240x240. Axial view. Slice index 130.
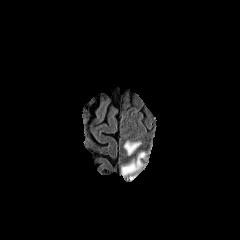
FLAIR MR image.
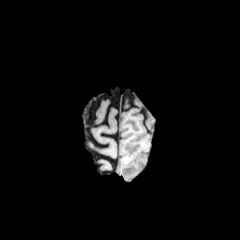
Same slice, T1-weighted MRI.
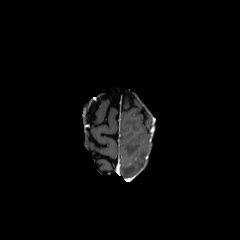
Same slice, post-contrast T1-weighted magnetic resonance.
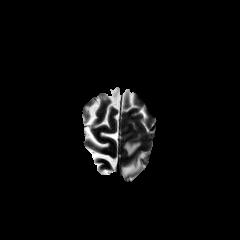
T2-weighted MR of the same slice.
<segmentation>
  <peritumoral_edema>rect(121, 152, 145, 176); rect(124, 142, 140, 155)</peritumoral_edema>
</segmentation>